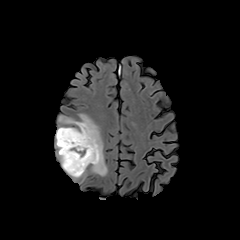
FLAIR MRI.
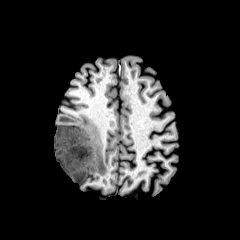
T1-weighted MRI.
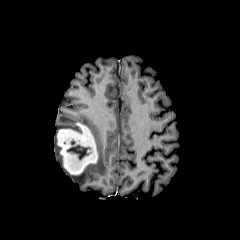
Post-contrast T1-weighted magnetic resonance.
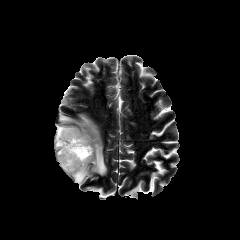
T2-weighted MRI.
Head
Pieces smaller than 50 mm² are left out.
The largest necrotic tumor core region is at l=67, t=145, r=90, b=159. The peritumoral edema is located at l=55, t=114, r=107, b=183. The enhancing tumor is at l=57, t=123, r=98, b=175.